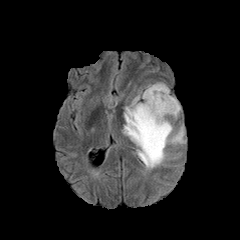
FLAIR MRI.
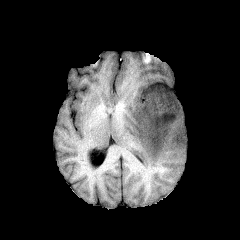
T1-weighted MR image.
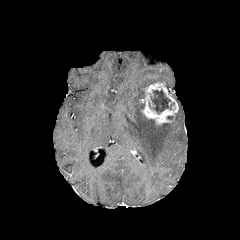
Post-contrast T1-weighted MRI.
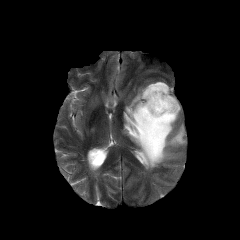
T2-weighted MR of the same slice.
240x240 | Head
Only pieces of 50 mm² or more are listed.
Segmented structures:
- peritumoral edema: <bbox>123, 90, 185, 168</bbox>, <bbox>174, 98, 181, 121</bbox>
- necrotic tumor core: <bbox>151, 90, 173, 113</bbox>
- enhancing tumor: <bbox>141, 82, 178, 125</bbox>